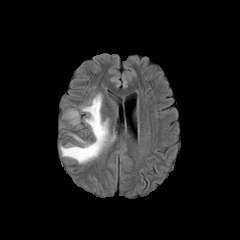
FLAIR MR image.
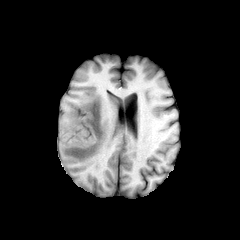
T1-weighted MR image.
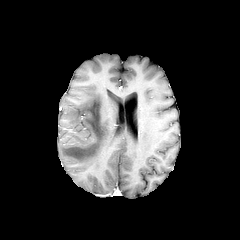
Same slice, post-contrast T1-weighted MRI.
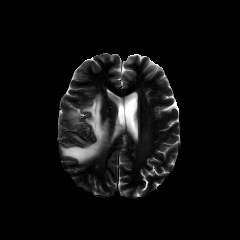
T2-weighted MR image.
Axial view; 240x240
2 peritumoral edema regions are bounded by 67,110,79,124; 60,94,115,163.